FLAIR MR.
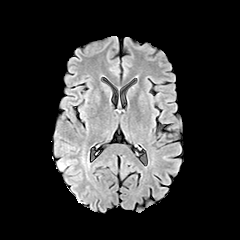
T1-weighted MR image.
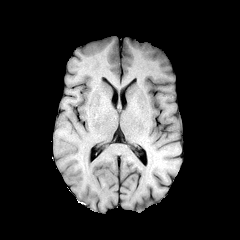
Post-contrast T1-weighted MR image.
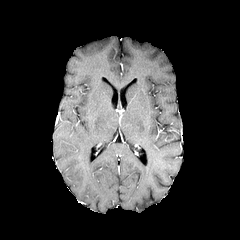
T2-weighted magnetic resonance.
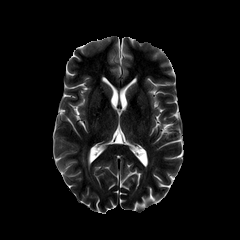
240x240 | Head
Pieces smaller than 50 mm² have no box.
Segmented structures:
• peritumoral edema: 58, 163, 69, 170